Brain.
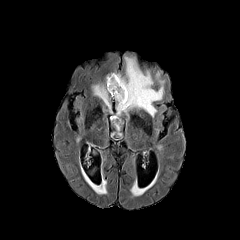
FLAIR MRI.
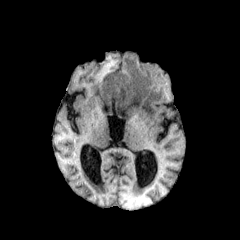
T1-weighted MR image.
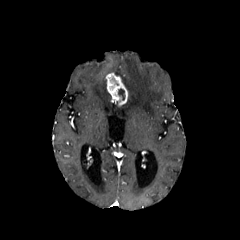
Same slice, post-contrast T1-weighted magnetic resonance.
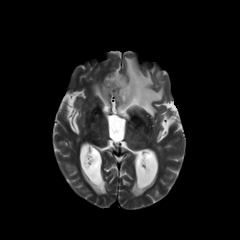
T2-weighted MRI.
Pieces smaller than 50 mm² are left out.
The enhancing tumor is bounded by (x1=106, y1=73, x2=128, y2=106). The largest necrotic tumor core region is located at (x1=118, y1=88, x2=124, y2=100). The 3 largest peritumoral edema regions appear at (x1=90, y1=183, x2=105, y2=194), (x1=92, y1=83, x2=110, y2=110), (x1=115, y1=57, x2=163, y2=116).